FLAIR MRI.
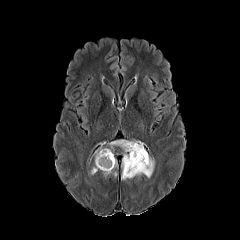
T1-weighted MR image.
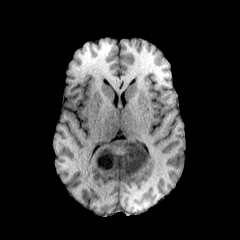
Post-contrast T1-weighted magnetic resonance.
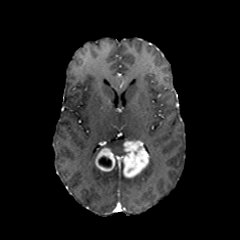
T2-weighted MRI.
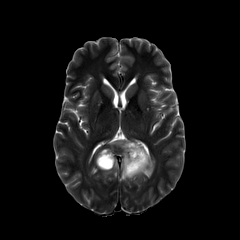
Brain. Axial plane.
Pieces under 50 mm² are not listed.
The 4 largest peritumoral edema regions appear at l=109, t=140, r=127, b=150; l=102, t=169, r=117, b=176; l=135, t=157, r=155, b=178; l=89, t=165, r=99, b=174. 2 enhancing tumor regions are located at l=95, t=148, r=115, b=171; l=122, t=140, r=149, b=177. The necrotic tumor core is bounded by l=98, t=156, r=111, b=167.